240x240 | Slice 39 of 155
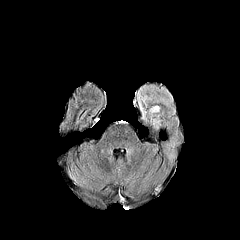
FLAIR MR.
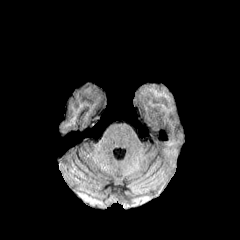
T1-weighted MR.
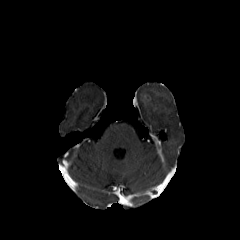
Post-contrast T1-weighted MR image.
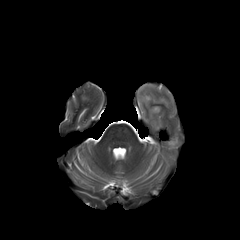
T2-weighted MR.
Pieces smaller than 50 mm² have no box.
peritumoral_edema:
  - 152 118 159 131
  - 149 106 160 116
  - 137 91 146 120